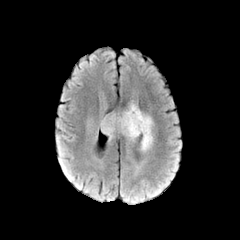
FLAIR MR.
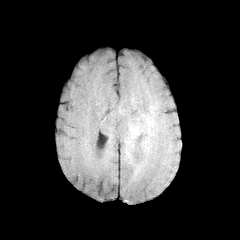
T1-weighted MR image.
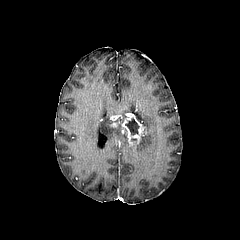
Post-contrast T1-weighted MR.
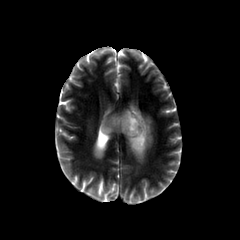
T2-weighted magnetic resonance of the same slice.
Axial plane. Brain.
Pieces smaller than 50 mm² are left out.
necrotic tumor core: rect(125, 118, 139, 135) | enhancing tumor: rect(110, 113, 146, 147) | peritumoral edema: rect(111, 103, 135, 115); rect(133, 110, 152, 151); rect(100, 116, 120, 139)